Brain
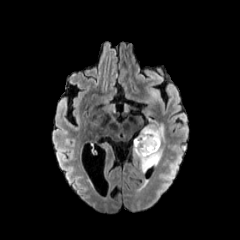
FLAIR MR.
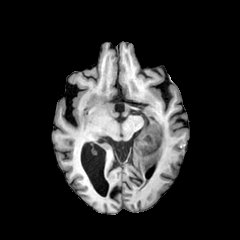
T1-weighted MR of the same slice.
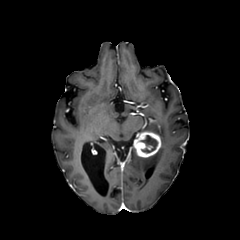
Post-contrast T1-weighted magnetic resonance of the same slice.
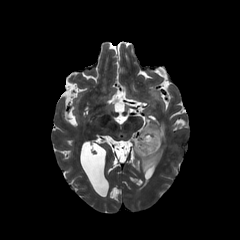
T2-weighted MRI.
necrotic_tumor_core:
  - bbox=[141, 135, 157, 152]
peritumoral_edema:
  - bbox=[133, 121, 166, 171]
enhancing_tumor:
  - bbox=[133, 131, 160, 157]